Axial slice
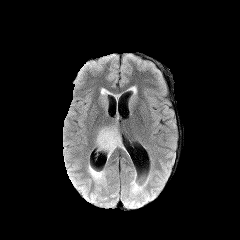
FLAIR magnetic resonance.
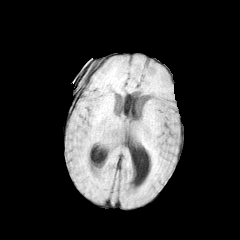
T1-weighted MRI.
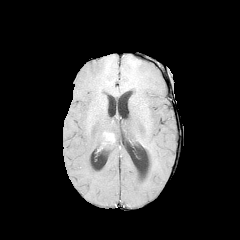
Post-contrast T1-weighted MR.
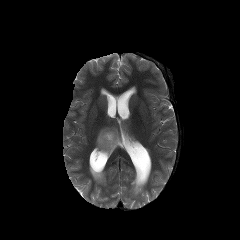
T2-weighted magnetic resonance.
Segmented structures:
- enhancing tumor: (left=103, top=132, right=115, bottom=142)
- peritumoral edema: (left=96, top=127, right=124, bottom=158)